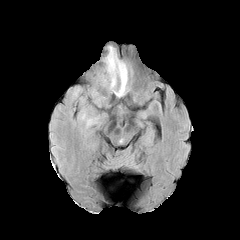
FLAIR MRI.
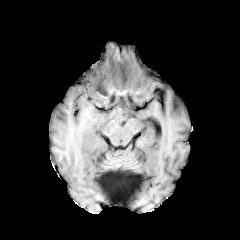
T1-weighted MR.
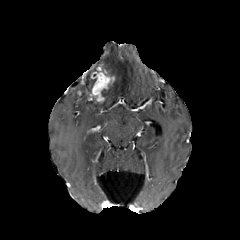
Post-contrast T1-weighted magnetic resonance of the same slice.
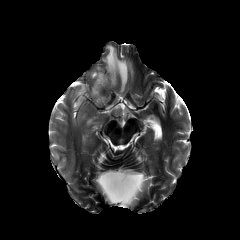
T2-weighted MR image of the same slice.
Brain
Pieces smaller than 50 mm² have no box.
enhancing tumor: (90,67,115,103)
peritumoral edema: (72,88,84,101), (80,112,97,126), (102,46,132,96)